Slice index 68 | Axial view | Head | 240x240 px
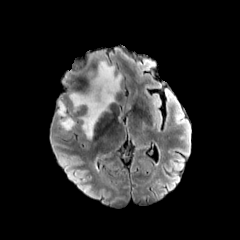
FLAIR MRI.
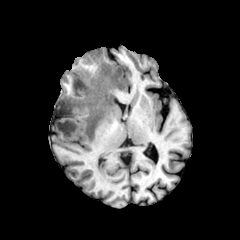
Same slice, T1-weighted MRI.
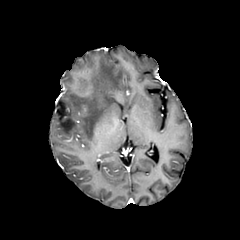
Post-contrast T1-weighted MRI of the same slice.
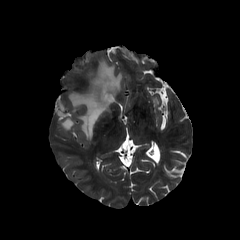
Same slice, T2-weighted magnetic resonance.
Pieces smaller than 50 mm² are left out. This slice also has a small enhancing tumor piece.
peritumoral edema: <box>58,101,66,116</box>, <box>69,60,121,139</box>, <box>60,117,74,131</box>